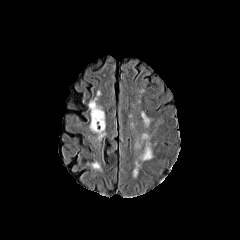
FLAIR MR image.
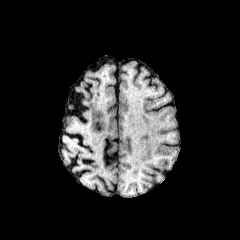
T1-weighted MR.
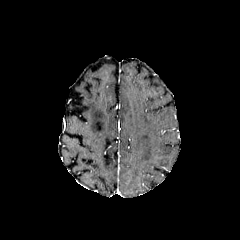
Post-contrast T1-weighted MR image of the same slice.
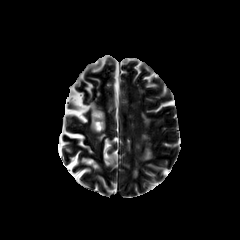
T2-weighted MR image.
240x240
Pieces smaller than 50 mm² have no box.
The 3 largest peritumoral edema regions are located at 142,113,149,125; 133,161,139,176; 141,146,152,160.